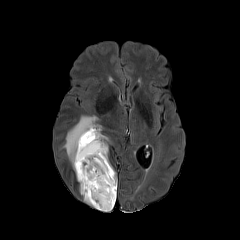
FLAIR MR.
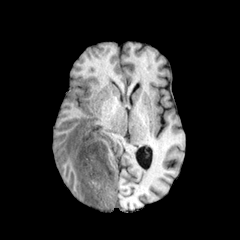
T1-weighted magnetic resonance of the same slice.
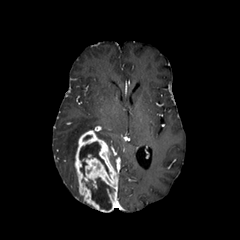
Post-contrast T1-weighted MR of the same slice.
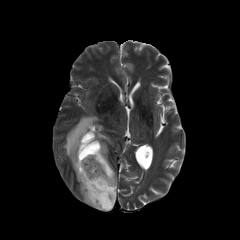
Same slice, T2-weighted MR image.
240x240; Axial slice; Brain
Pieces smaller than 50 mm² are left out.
The 3 largest necrotic tumor core regions appear at (86,178,112,210), (79,142,109,174), (80,162,86,175). The 2 largest peritumoral edema regions are bounded by (95,131,109,142), (63,115,100,172). The enhancing tumor is at (74,130,117,212).